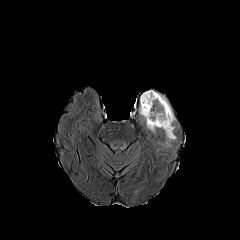
FLAIR MR image.
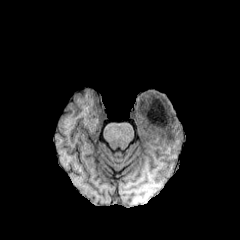
T1-weighted MR.
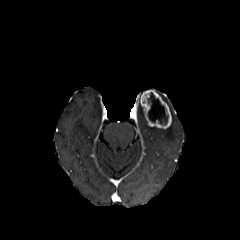
Post-contrast T1-weighted magnetic resonance of the same slice.
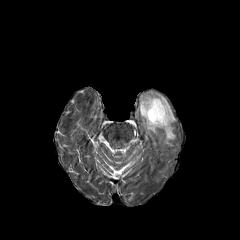
T2-weighted MR image of the same slice.
Brain
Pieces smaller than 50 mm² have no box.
enhancing tumor: bounding box 140 90 171 129
peritumoral edema: bounding box 139 106 156 134, 167 100 176 122, 164 124 175 147
necrotic tumor core: bounding box 148 92 168 125